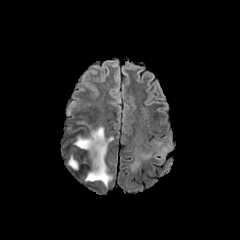
FLAIR magnetic resonance.
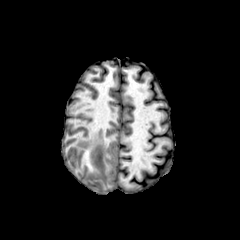
T1-weighted MR image.
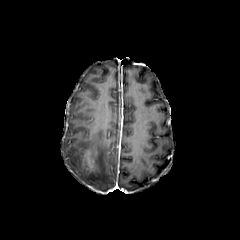
Post-contrast T1-weighted MR image of the same slice.
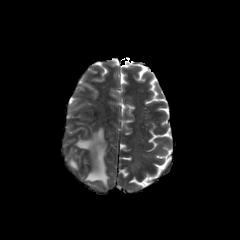
T2-weighted MR image.
240x240.
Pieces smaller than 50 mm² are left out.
peritumoral edema: box(73, 127, 112, 187); box(68, 156, 77, 169)